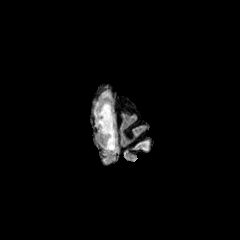
FLAIR magnetic resonance.
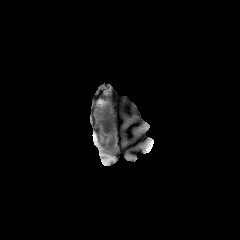
T1-weighted magnetic resonance.
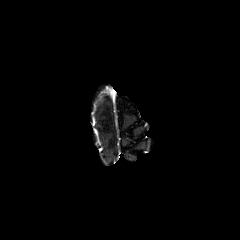
Post-contrast T1-weighted magnetic resonance.
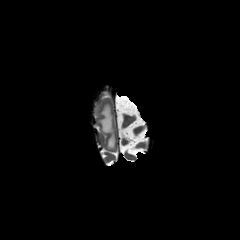
T2-weighted magnetic resonance.
Head | Axial plane | 240x240
The peritumoral edema is bounded by left=96, top=102, right=115, bottom=149.